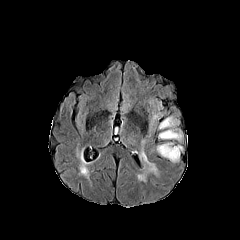
FLAIR magnetic resonance.
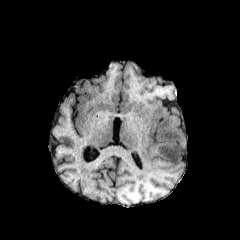
Same slice, T1-weighted MRI.
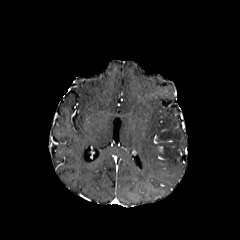
Same slice, post-contrast T1-weighted MRI.
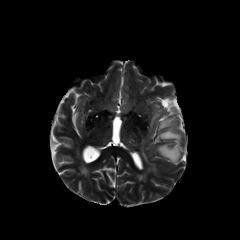
T2-weighted MR image of the same slice.
Brain, 240x240, Axial slice
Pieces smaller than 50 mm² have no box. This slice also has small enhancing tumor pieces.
Findings:
- peritumoral edema: [x1=159, y1=117, x2=176, y2=128], [x1=159, y1=129, x2=181, y2=140], [x1=159, y1=143, x2=181, y2=162], [x1=149, y1=111, x2=160, y2=132], [x1=141, y1=148, x2=157, y2=173]